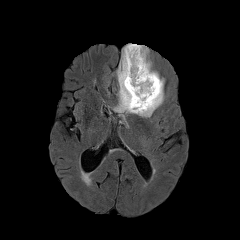
FLAIR magnetic resonance.
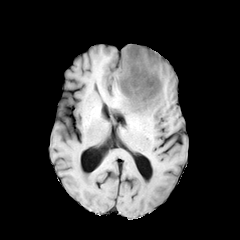
T1-weighted MR.
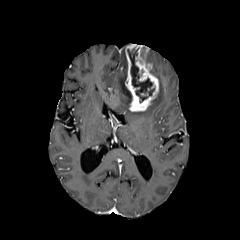
Post-contrast T1-weighted MRI.
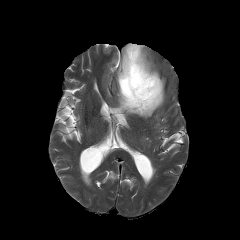
Same slice, T2-weighted MRI.
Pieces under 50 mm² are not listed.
Annotated regions:
• necrotic tumor core: 127,48,154,102
• enhancing tumor: 125,44,159,111
• peritumoral edema: 114,48,164,117